FLAIR MR image.
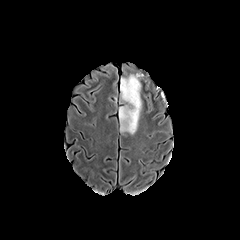
T1-weighted MRI.
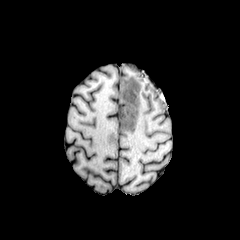
Post-contrast T1-weighted magnetic resonance.
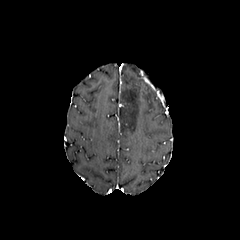
T2-weighted MRI.
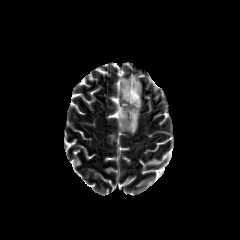
240x240, Head
<segmentation>
  <peritumoral_edema>box(119, 72, 143, 135)</peritumoral_edema>
</segmentation>